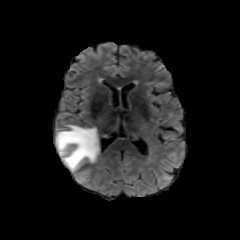
FLAIR MRI.
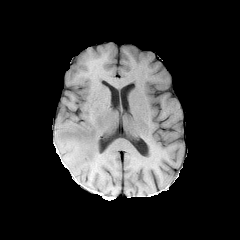
T1-weighted MR image.
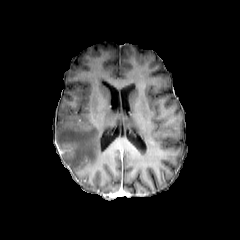
Post-contrast T1-weighted MRI.
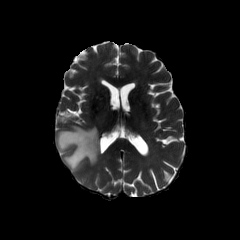
T2-weighted magnetic resonance of the same slice.
Image size 240x240
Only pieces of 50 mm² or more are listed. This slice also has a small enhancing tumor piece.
peritumoral edema: l=56, t=125, r=99, b=178